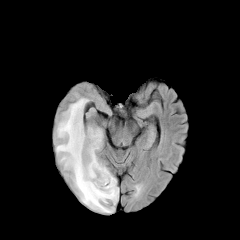
FLAIR MR image.
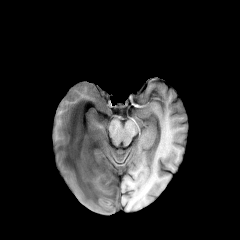
T1-weighted magnetic resonance.
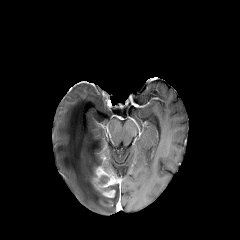
Post-contrast T1-weighted MR image.
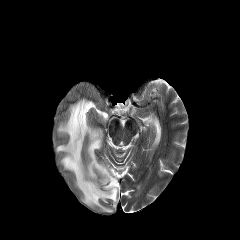
T2-weighted MR.
Axial slice.
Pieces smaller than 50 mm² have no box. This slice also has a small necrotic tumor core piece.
Findings:
• enhancing tumor: {"x1": 93, "y1": 146, "x2": 118, "y2": 197}
• peritumoral edema: {"x1": 56, "y1": 96, "x2": 118, "y2": 212}